FLAIR MRI.
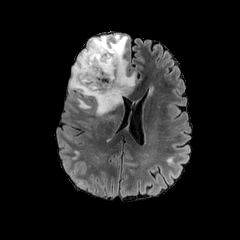
T1-weighted MR.
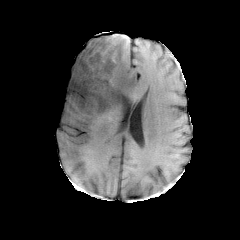
Post-contrast T1-weighted MRI.
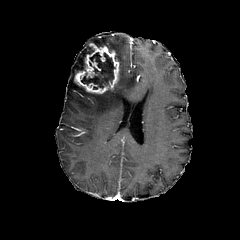
T2-weighted MR image.
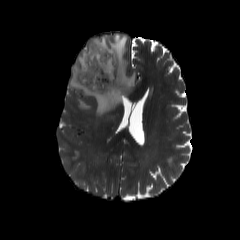
Head
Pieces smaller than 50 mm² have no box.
peritumoral edema: [x1=69, y1=34, x2=135, y2=116]
enhancing tumor: [x1=74, y1=43, x2=119, y2=93]
necrotic tumor core: [x1=81, y1=52, x2=114, y2=88]